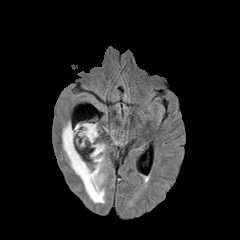
FLAIR MRI.
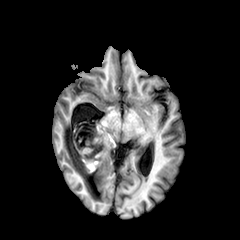
T1-weighted MR image.
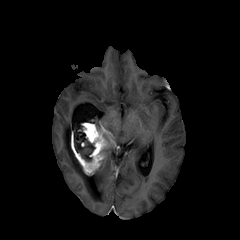
Post-contrast T1-weighted MRI of the same slice.
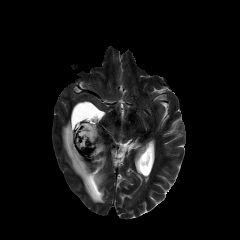
Same slice, T2-weighted MR.
Axial view
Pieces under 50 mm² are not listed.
The largest peritumoral edema region is located at (x1=62, y1=121, x2=107, y2=203). The largest enhancing tumor region appears at (x1=71, y1=123, x2=108, y2=175). The largest necrotic tumor core region is at (x1=74, y1=131, x2=94, y2=161).